FLAIR MR image.
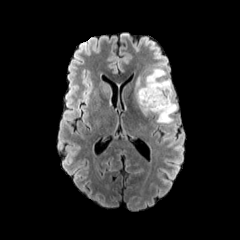
T1-weighted MRI.
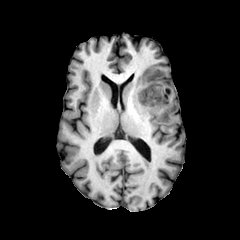
Post-contrast T1-weighted magnetic resonance.
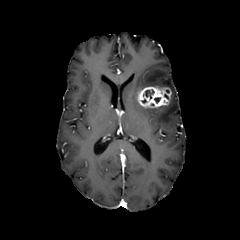
T2-weighted MR.
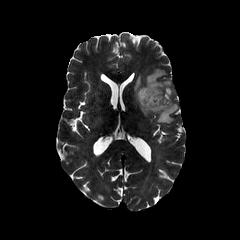
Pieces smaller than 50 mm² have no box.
<segmentation>
  <necrotic_tumor_core>(left=141, top=89, right=154, bottom=103)</necrotic_tumor_core>
  <enhancing_tumor>(left=137, top=86, right=171, bottom=107)</enhancing_tumor>
  <peritumoral_edema>(left=134, top=68, right=177, bottom=123)</peritumoral_edema>
</segmentation>